FLAIR magnetic resonance.
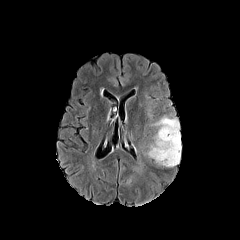
T1-weighted MR.
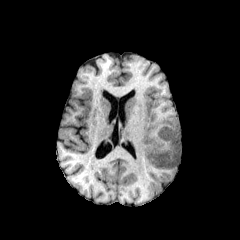
Post-contrast T1-weighted magnetic resonance.
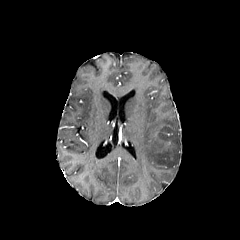
T2-weighted MRI.
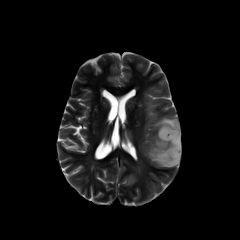
240x240 | Head
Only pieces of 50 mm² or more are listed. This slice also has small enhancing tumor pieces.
peritumoral_edema:
  - bbox=[146, 114, 181, 167]